FLAIR MR image.
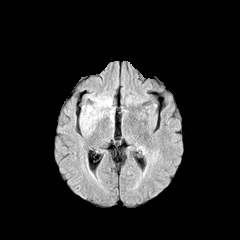
T1-weighted MR.
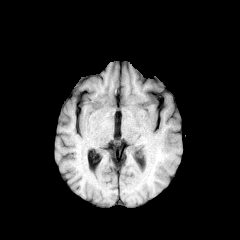
Post-contrast T1-weighted MR image.
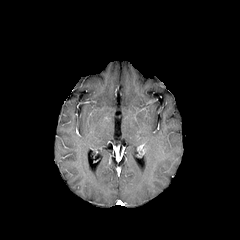
T2-weighted magnetic resonance.
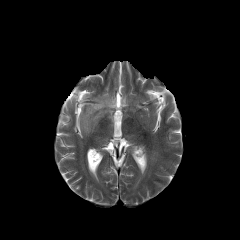
Image size 240x240 | Head
{"peritumoral_edema": ["(x1=80, y1=94, x2=111, y2=134)", "(x1=108, y1=108, x2=113, y2=118)"]}